Slice index 109
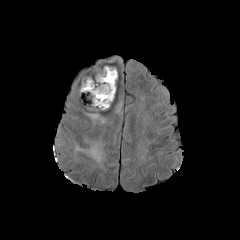
FLAIR MR.
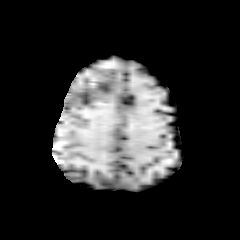
T1-weighted magnetic resonance.
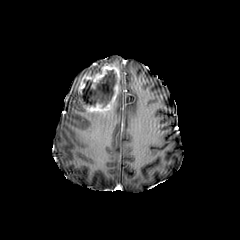
Post-contrast T1-weighted MR of the same slice.
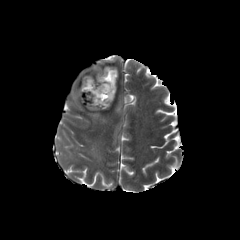
T2-weighted MR of the same slice.
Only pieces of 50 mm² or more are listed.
peritumoral edema at <bbox>90, 145, 101, 160</bbox>, <bbox>87, 113, 99, 119</bbox>
enhancing tumor at <bbox>77, 65, 120, 112</bbox>
necrotic tumor core at <bbox>83, 70, 116, 107</bbox>